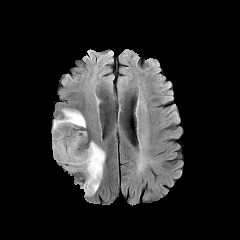
FLAIR MR image.
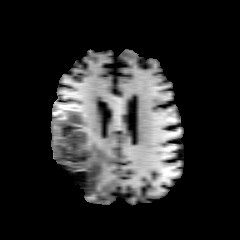
T1-weighted MR.
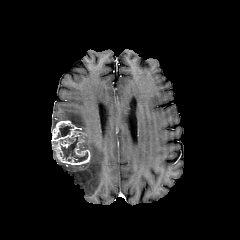
Post-contrast T1-weighted MRI.
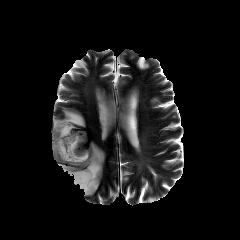
Same slice, T2-weighted MR image.
Axial plane, Head, 240x240
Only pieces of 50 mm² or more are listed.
enhancing tumor = [51, 120, 90, 165]
peritumoral edema = [64, 141, 105, 195], [53, 108, 85, 127]
necrotic tumor core = [56, 125, 72, 138], [61, 137, 87, 162]